Brain, Axial view
FLAIR MRI.
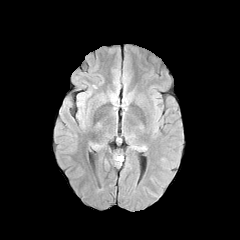
T1-weighted MR image.
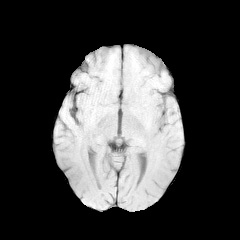
Post-contrast T1-weighted MR.
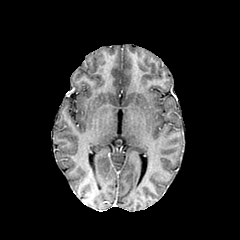
T2-weighted MRI.
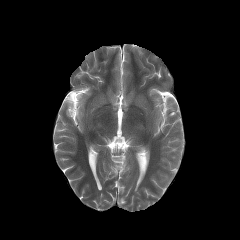
The peritumoral edema appears at (x1=114, y1=155, x2=123, y2=165).